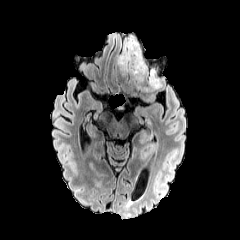
FLAIR MRI.
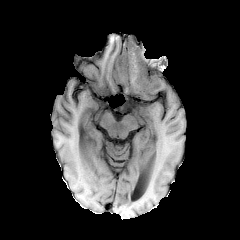
T1-weighted MR image.
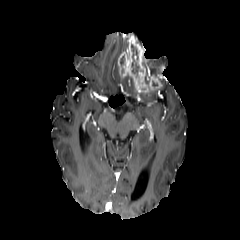
Post-contrast T1-weighted magnetic resonance.
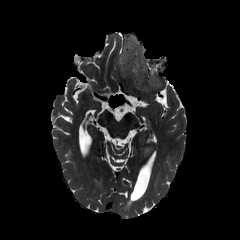
T2-weighted MR.
Axial view, Head, 240x240
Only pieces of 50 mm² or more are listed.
peritumoral edema: bounding box rect(142, 59, 149, 83)
necrotic tumor core: bounding box rect(119, 55, 124, 74); rect(131, 44, 143, 77)
enhancing tumor: bounding box rect(118, 35, 161, 92)